FLAIR MR image.
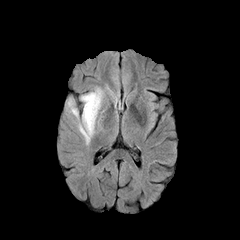
T1-weighted MR.
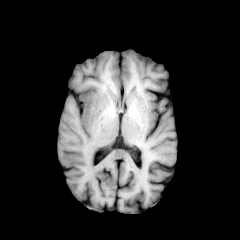
Post-contrast T1-weighted MR.
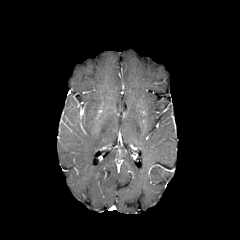
T2-weighted magnetic resonance.
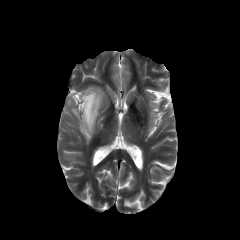
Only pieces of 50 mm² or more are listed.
Segmented structures:
* peritumoral edema: {"x1": 68, "y1": 87, "x2": 104, "y2": 144}